FLAIR MRI.
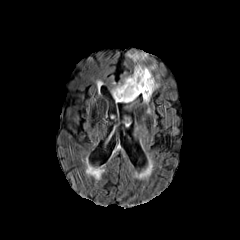
T1-weighted magnetic resonance.
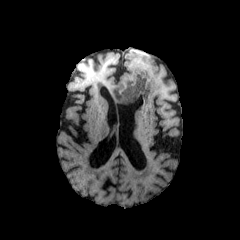
Post-contrast T1-weighted magnetic resonance.
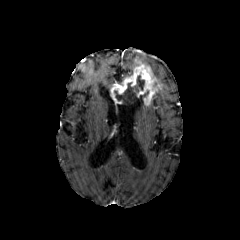
T2-weighted MR.
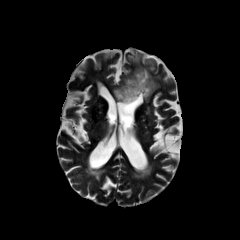
240x240 px; Brain
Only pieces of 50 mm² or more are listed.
<segmentation>
  <enhancing_tumor>x1=110 y1=62 x2=160 y2=105</enhancing_tumor>
  <peritumoral_edema>x1=127 y1=52 x2=148 y2=65</peritumoral_edema>
  <necrotic_tumor_core>x1=114 y1=75 x2=144 y2=103</necrotic_tumor_core>
</segmentation>